Head, Axial slice
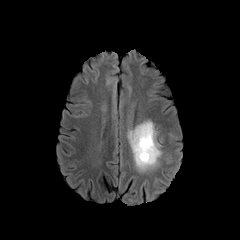
FLAIR MR.
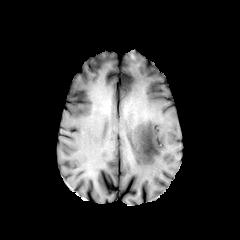
T1-weighted MRI of the same slice.
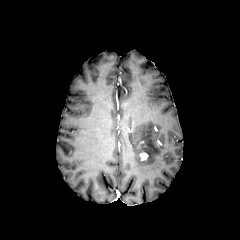
Post-contrast T1-weighted MRI.
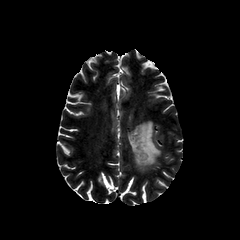
T2-weighted MR image of the same slice.
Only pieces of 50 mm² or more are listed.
The peritumoral edema is bounded by x1=128, y1=121, x2=161, y2=171. The largest enhancing tumor region is at x1=139, y1=152, x2=147, y2=160.